FLAIR MR image.
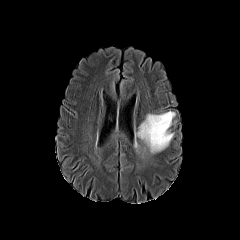
T1-weighted MR.
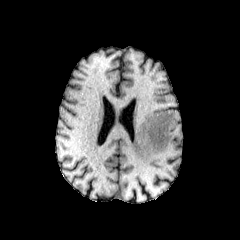
Post-contrast T1-weighted magnetic resonance.
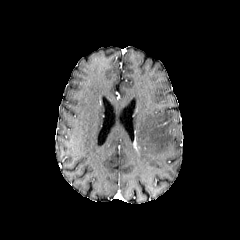
T2-weighted magnetic resonance.
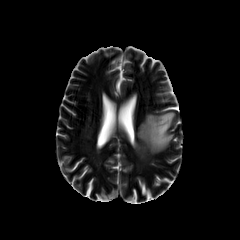
Head; Axial plane
<segmentation>
  <peritumoral_edema>l=136, t=111, r=175, b=153</peritumoral_edema>
</segmentation>